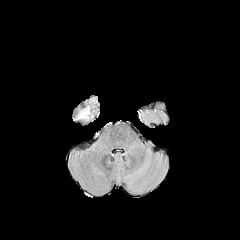
FLAIR MRI.
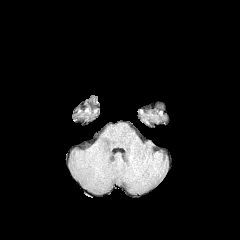
T1-weighted magnetic resonance.
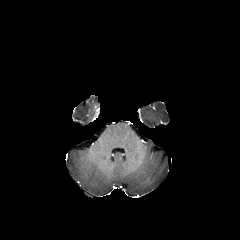
Same slice, post-contrast T1-weighted MR image.
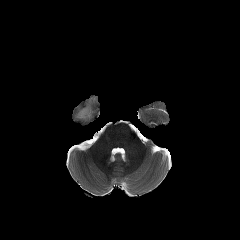
T2-weighted MR image of the same slice.
240x240. Brain. Axial slice.
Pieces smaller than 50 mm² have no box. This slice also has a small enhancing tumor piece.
Findings:
* peritumoral edema: (x1=77, y1=107, x2=89, y2=118)